FLAIR MRI.
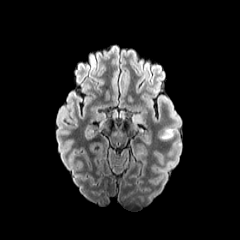
T1-weighted MRI.
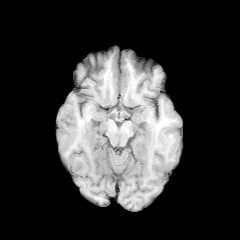
Post-contrast T1-weighted MR image.
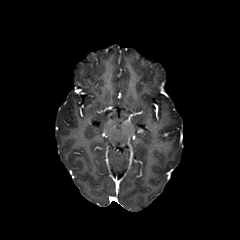
T2-weighted magnetic resonance.
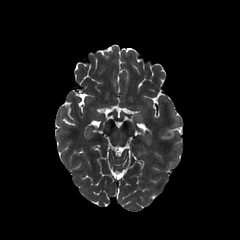
Axial plane
<segmentation>
  <peritumoral_edema>[x1=160, y1=128, x2=174, y2=139]</peritumoral_edema>
</segmentation>